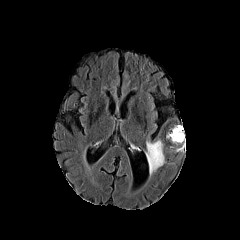
FLAIR MR image.
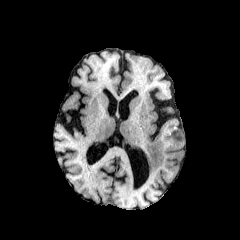
T1-weighted MRI of the same slice.
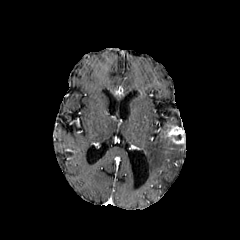
Post-contrast T1-weighted MRI.
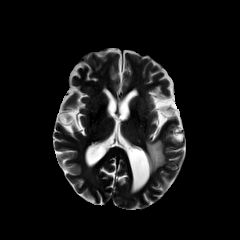
Same slice, T2-weighted MR.
Image size 240x240. Axial plane.
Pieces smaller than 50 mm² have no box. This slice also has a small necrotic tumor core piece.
Segmented structures:
- enhancing tumor: l=167, t=126, r=185, b=146
- peritumoral edema: l=146, t=140, r=165, b=173